Slice index 65
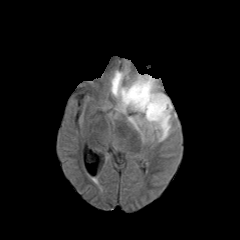
FLAIR MR.
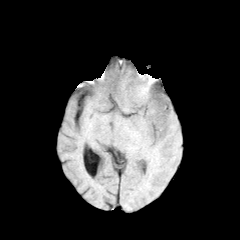
T1-weighted magnetic resonance of the same slice.
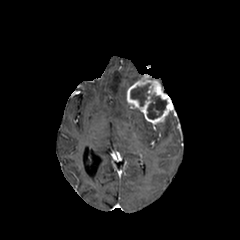
Post-contrast T1-weighted magnetic resonance.
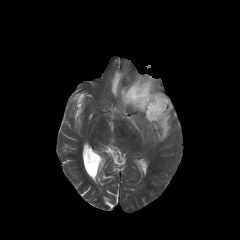
T2-weighted MR of the same slice.
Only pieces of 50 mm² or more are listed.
Annotated regions:
- peritumoral edema: rect(154, 112, 171, 140); rect(111, 71, 130, 112); rect(128, 116, 153, 139)
- necrotic tumor core: rect(131, 83, 150, 106); rect(147, 95, 166, 119)
- enhancing tumor: rect(126, 75, 173, 125)